FLAIR magnetic resonance.
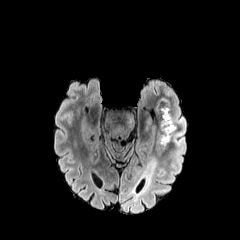
T1-weighted MR image.
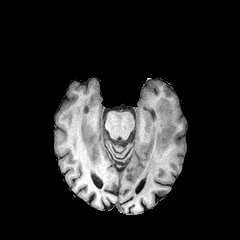
Post-contrast T1-weighted magnetic resonance.
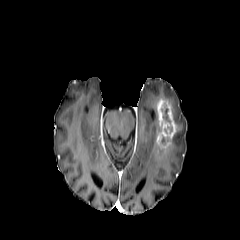
T2-weighted magnetic resonance.
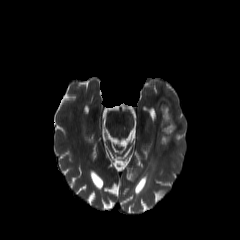
Axial plane.
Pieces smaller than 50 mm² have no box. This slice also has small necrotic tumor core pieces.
enhancing tumor — box=[156, 98, 176, 149]
peritumoral edema — box=[152, 94, 186, 159]